Image size 240x240, Axial view, Brain
FLAIR magnetic resonance.
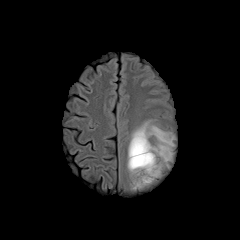
T1-weighted magnetic resonance.
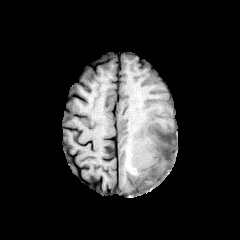
Post-contrast T1-weighted MRI.
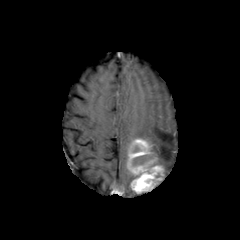
T2-weighted MR image.
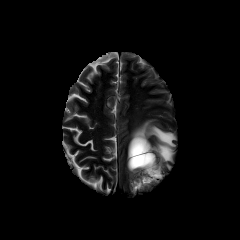
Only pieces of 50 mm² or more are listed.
The enhancing tumor lies within 127:138:163:192. The 2 largest necrotic tumor core regions are bounded by 132:154:153:166, 145:174:159:184. The largest peritumoral edema region is bounded by 127:120:175:170.